FLAIR MR image.
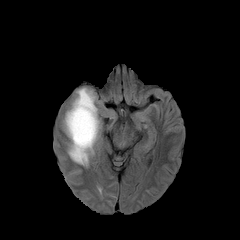
T1-weighted MR.
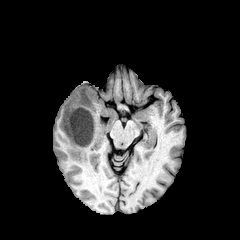
Post-contrast T1-weighted MR.
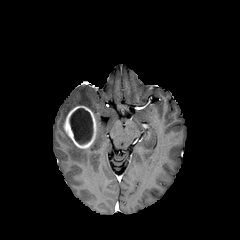
T2-weighted MR.
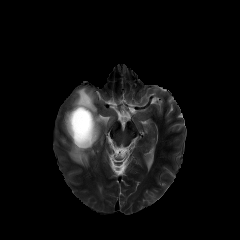
Head, Axial slice
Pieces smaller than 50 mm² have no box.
peritumoral edema: 68, 87, 100, 166 | enhancing tumor: 63, 105, 97, 148 | necrotic tumor core: 70, 108, 92, 144